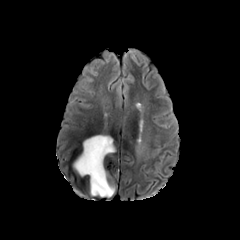
FLAIR magnetic resonance.
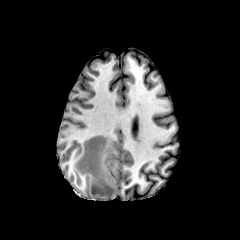
T1-weighted magnetic resonance of the same slice.
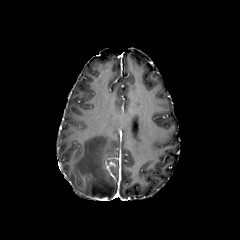
Post-contrast T1-weighted MR of the same slice.
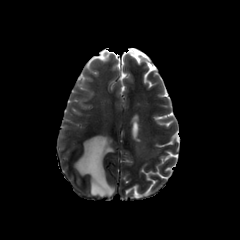
T2-weighted magnetic resonance.
Head
<segmentation>
  <peritumoral_edema>left=74, top=135, right=115, bottom=197</peritumoral_edema>
</segmentation>